FLAIR MR image.
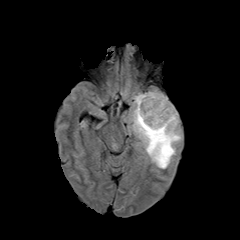
T1-weighted MR image.
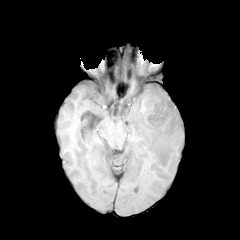
Post-contrast T1-weighted MR image.
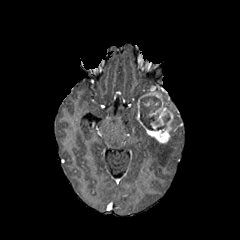
T2-weighted MRI.
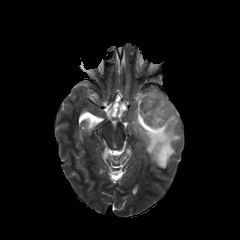
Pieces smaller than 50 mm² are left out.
enhancing tumor = 136:87:173:143
necrotic tumor core = 140:96:170:130
peritumoral edema = 133:93:145:106, 130:107:182:168